Head. Slice index 87.
FLAIR MR.
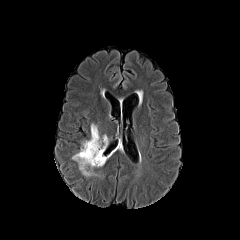
T1-weighted magnetic resonance.
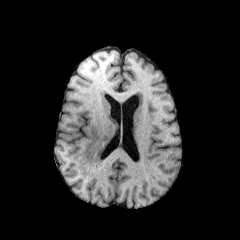
Post-contrast T1-weighted magnetic resonance.
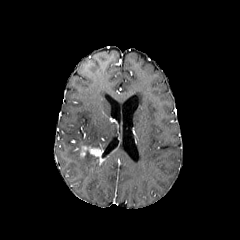
T2-weighted magnetic resonance.
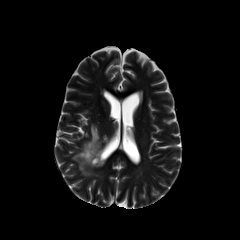
Segmented structures:
- peritumoral edema: l=72, t=123, r=116, b=176
- enhancing tumor: l=80, t=146, r=105, b=164